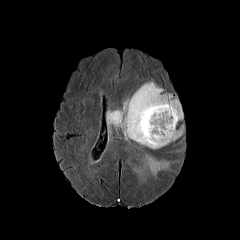
FLAIR MR image.
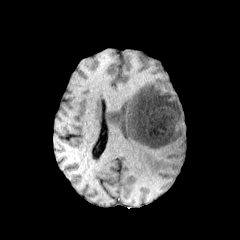
T1-weighted MRI of the same slice.
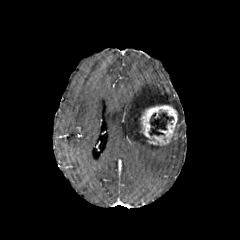
Post-contrast T1-weighted MR.
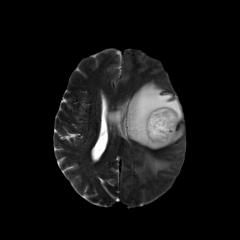
T2-weighted magnetic resonance of the same slice.
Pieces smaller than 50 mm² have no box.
{
  "necrotic_tumor_core": [
    "149:112:173:135"
  ],
  "peritumoral_edema": [
    "175:125:183:135",
    "106:81:183:176"
  ],
  "enhancing_tumor": [
    "140:104:180:145"
  ]
}